Axial plane | Image width 240 mm, 1.00 mm slice spacing
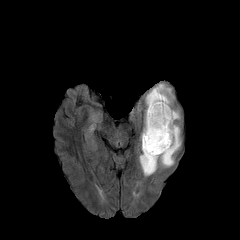
FLAIR MR.
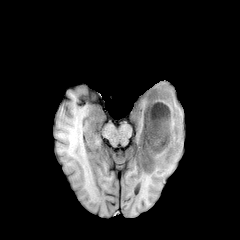
T1-weighted MR image.
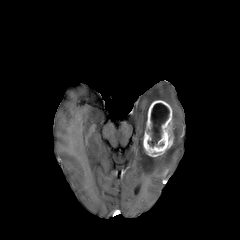
Post-contrast T1-weighted MRI.
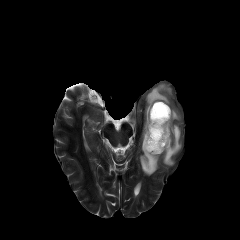
T2-weighted MRI of the same slice.
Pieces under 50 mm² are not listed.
peritumoral edema: left=139, top=83, right=181, bottom=176 | enhancing tumor: left=143, top=100, right=173, bottom=156 | necrotic tumor core: left=148, top=103, right=169, bottom=146